FLAIR magnetic resonance.
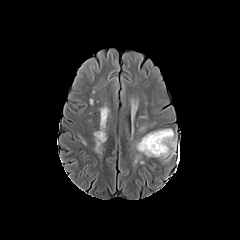
T1-weighted MR image.
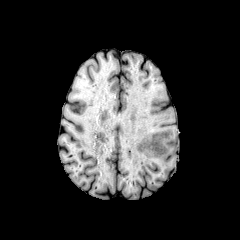
Post-contrast T1-weighted MR.
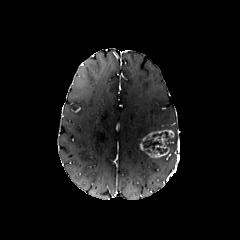
T2-weighted MR.
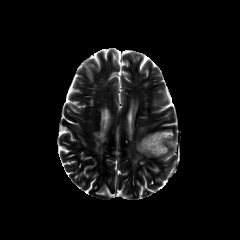
240x240 px | Head | Axial view
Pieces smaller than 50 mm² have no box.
necrotic tumor core = rect(143, 132, 171, 153)
peritumoral edema = rect(136, 139, 149, 156); rect(169, 135, 176, 158)
enhancing tumor = rect(139, 129, 174, 157)